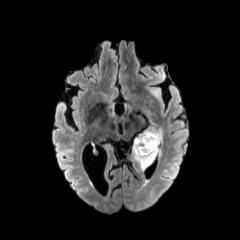
FLAIR MRI.
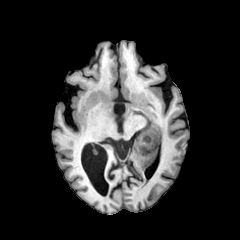
Same slice, T1-weighted MR image.
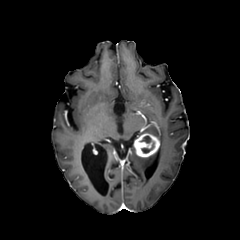
Post-contrast T1-weighted MR image of the same slice.
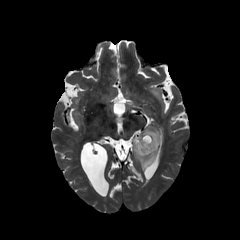
Same slice, T2-weighted magnetic resonance.
Axial view, Brain
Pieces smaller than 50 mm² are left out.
The enhancing tumor is bounded by [134,132,159,157]. 2 necrotic tumor core regions are bounded by [141,142,154,153], [140,136,151,142]. The 2 largest peritumoral edema regions appear at [141,126,163,145], [132,143,161,170].